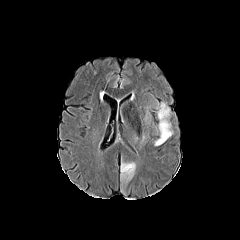
FLAIR MR.
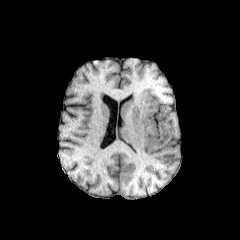
T1-weighted magnetic resonance.
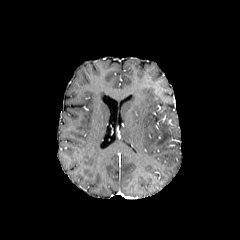
Post-contrast T1-weighted MR.
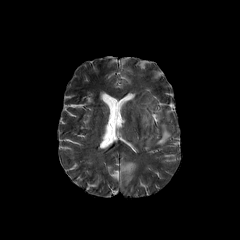
Same slice, T2-weighted MRI.
Axial view. 240x240 px. Brain.
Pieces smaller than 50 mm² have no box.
peritumoral_edema:
  - (x1=121, y1=162, x2=135, y2=181)
  - (x1=154, y1=102, x2=173, y2=146)